Head | Axial view
FLAIR MR image.
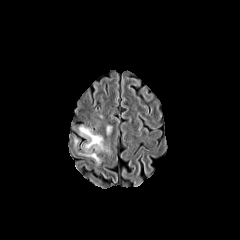
T1-weighted magnetic resonance.
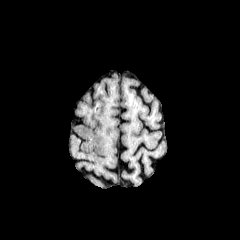
Post-contrast T1-weighted MRI.
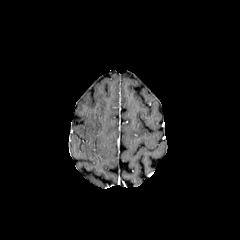
T2-weighted magnetic resonance.
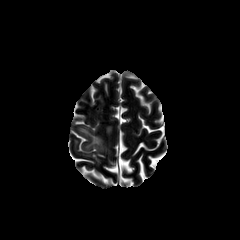
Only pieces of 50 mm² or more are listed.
peritumoral_edema:
  - 78, 126, 109, 164